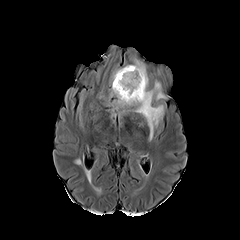
FLAIR MR image.
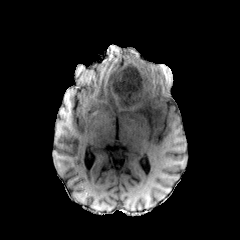
T1-weighted magnetic resonance.
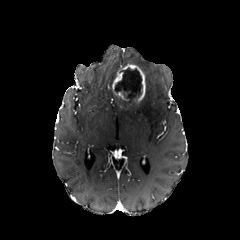
Post-contrast T1-weighted MR.
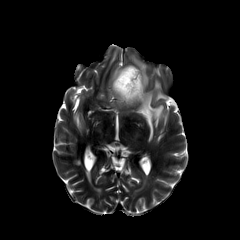
T2-weighted MR image.
Image size 240x240; Head; Axial slice
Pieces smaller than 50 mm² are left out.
{"peritumoral_edema": ["115,98,125,108", "129,80,166,140", "134,59,148,87"], "necrotic_tumor_core": ["115,67,142,104"], "enhancing_tumor": ["112,64,145,103"]}